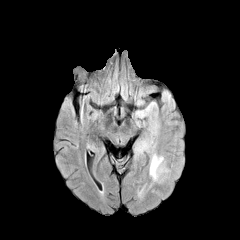
FLAIR MR image.
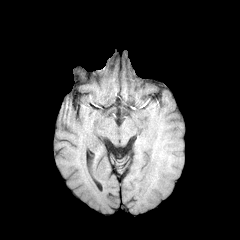
T1-weighted MRI.
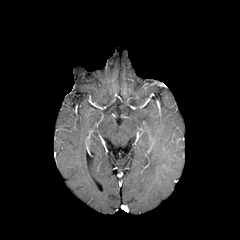
Post-contrast T1-weighted MRI.
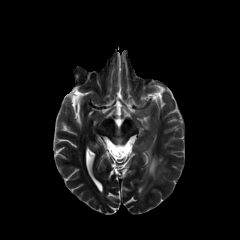
Same slice, T2-weighted MR image.
Axial view
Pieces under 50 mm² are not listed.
<segmentation>
  <peritumoral_edema>box(149, 154, 166, 180); box(134, 103, 158, 152)</peritumoral_edema>
</segmentation>